Slice 67/155. Image width 240 mm, 1.00 mm slice spacing.
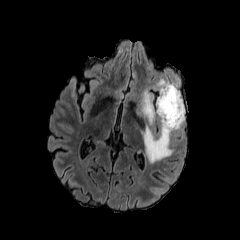
FLAIR MR.
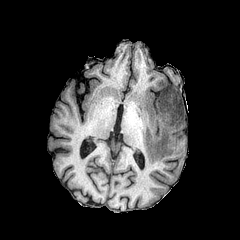
T1-weighted MR image of the same slice.
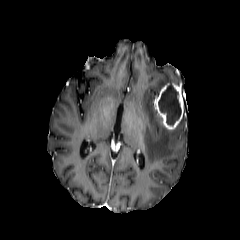
Same slice, post-contrast T1-weighted magnetic resonance.
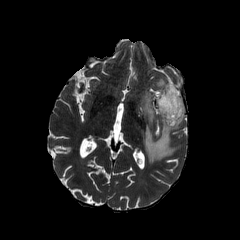
T2-weighted MR of the same slice.
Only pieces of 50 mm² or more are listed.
{"enhancing_tumor": ["l=156, t=83, r=184, b=130"], "necrotic_tumor_core": ["l=158, t=84, r=181, b=125"], "peritumoral_edema": ["l=141, t=90, r=157, b=124", "l=141, t=114, r=185, b=163", "l=157, t=79, r=173, b=89"]}